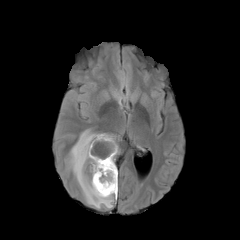
FLAIR MR.
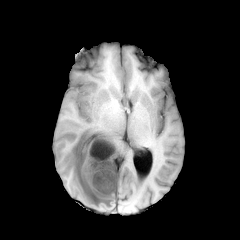
Same slice, T1-weighted MR.
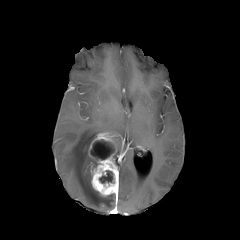
Post-contrast T1-weighted MRI of the same slice.
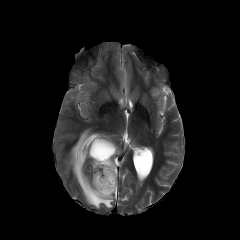
T2-weighted MR.
Annotated regions:
- enhancing tumor: (x1=88, y1=133, x2=118, y2=196)
- peritumoral edema: (x1=65, y1=129, x2=116, y2=208), (x1=109, y1=134, x2=119, y2=158)
- necrotic tumor core: (x1=99, y1=170, x2=113, y2=183), (x1=90, y1=139, x2=114, y2=159)